Axial plane | Slice index 59 | Brain | 240x240
FLAIR magnetic resonance.
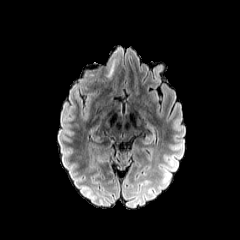
T1-weighted magnetic resonance.
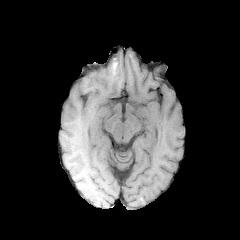
Post-contrast T1-weighted MRI.
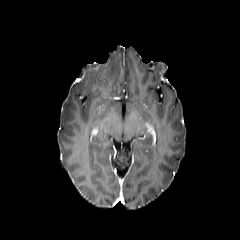
T2-weighted magnetic resonance.
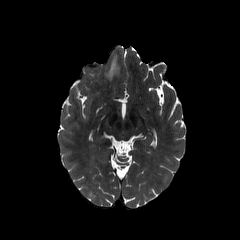
Findings:
* peritumoral edema: 108,60,115,77